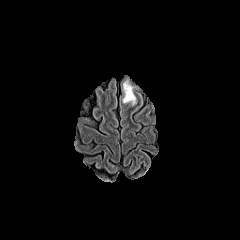
FLAIR MRI.
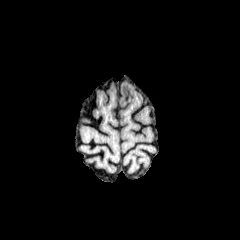
T1-weighted MRI of the same slice.
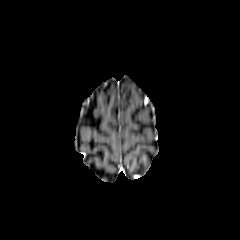
Same slice, post-contrast T1-weighted MRI.
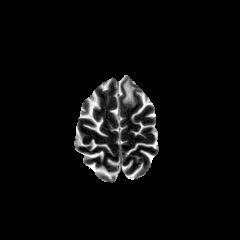
T2-weighted MRI.
Brain.
The peritumoral edema lies within <bbox>123, 81, 135, 104</bbox>.